Head
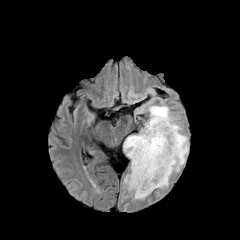
FLAIR MR.
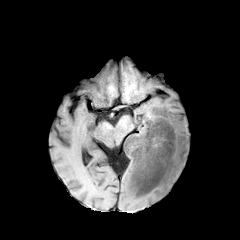
T1-weighted MR.
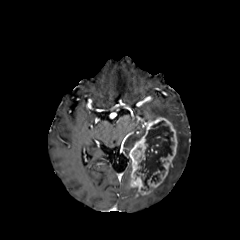
Post-contrast T1-weighted MR of the same slice.
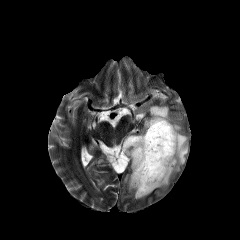
Same slice, T2-weighted MR.
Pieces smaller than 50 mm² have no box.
enhancing tumor — l=128, t=117, r=177, b=197
peritumoral edema — l=124, t=127, r=145, b=156; l=148, t=105, r=188, b=188; l=124, t=174, r=148, b=199
necrotic tumor core — l=137, t=121, r=173, b=188